FLAIR MRI.
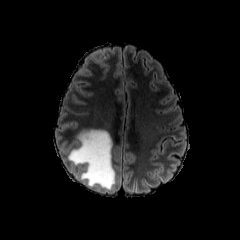
T1-weighted MR image.
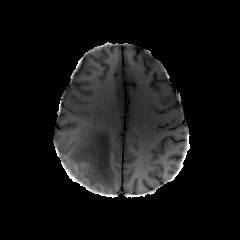
Post-contrast T1-weighted MR image.
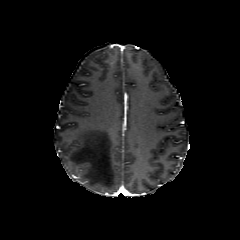
T2-weighted MR image.
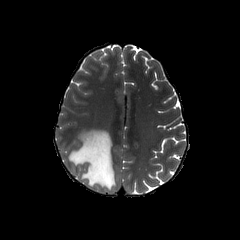
Axial plane; Image size 240x240; Head
The peritumoral edema lies within x1=68 y1=129 x2=115 y2=190.